Slice 61/155. Image covers 240 mm x 240 mm.
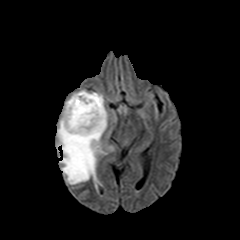
FLAIR MRI.
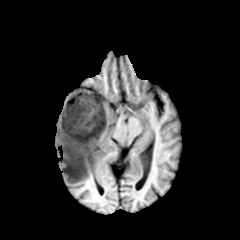
T1-weighted MRI.
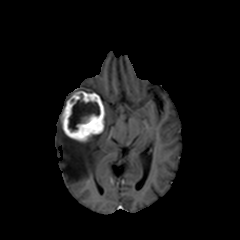
Post-contrast T1-weighted MRI.
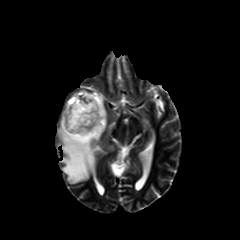
T2-weighted MR image.
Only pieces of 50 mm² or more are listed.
Findings:
• peritumoral edema: left=57, top=109, right=107, bottom=184
• enhancing tumor: left=61, top=91, right=105, bottom=141
• necrotic tumor core: left=68, top=94, right=99, bottom=130